Slice 42/155 | Brain
FLAIR magnetic resonance.
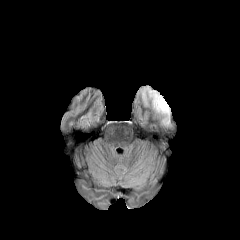
T1-weighted magnetic resonance.
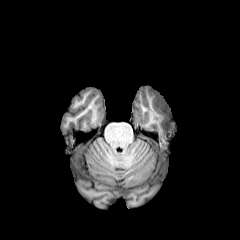
Post-contrast T1-weighted magnetic resonance.
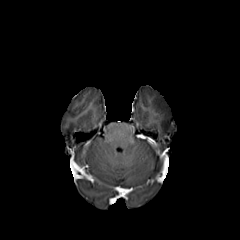
T2-weighted MR image.
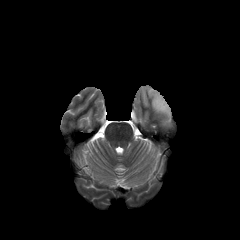
{"peritumoral_edema": ["[x1=149, y1=90, x2=170, y2=124]"]}